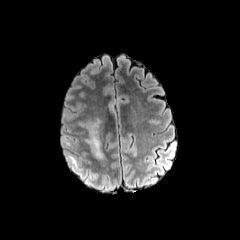
FLAIR magnetic resonance.
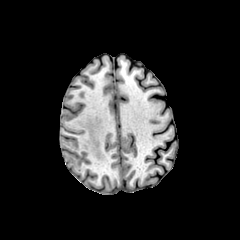
Same slice, T1-weighted MRI.
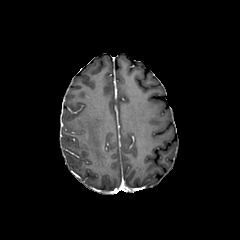
Same slice, post-contrast T1-weighted MRI.
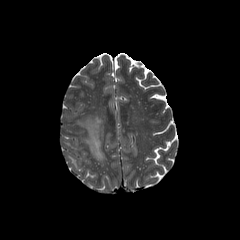
Same slice, T2-weighted magnetic resonance.
Axial slice.
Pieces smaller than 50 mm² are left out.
peritumoral edema: bbox=[79, 120, 103, 159]; bbox=[68, 156, 81, 170]